Image width 240 mm, Axial plane, Head
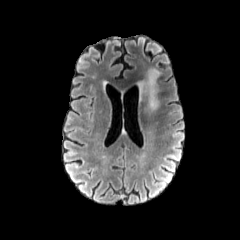
FLAIR MRI.
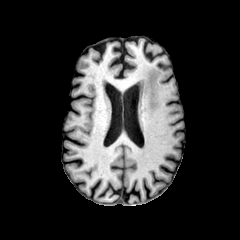
T1-weighted MR image.
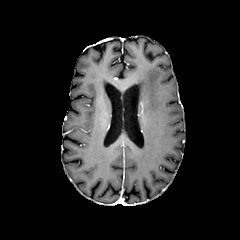
Post-contrast T1-weighted MRI.
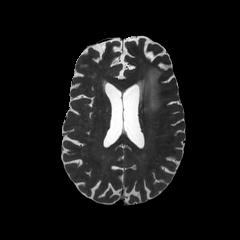
T2-weighted magnetic resonance.
peritumoral edema at 138 68 161 114